Axial view | Slice index 92 | Brain
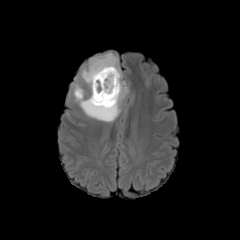
FLAIR MR image.
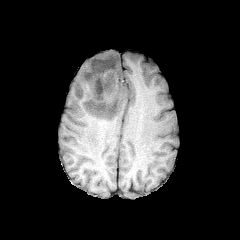
T1-weighted magnetic resonance.
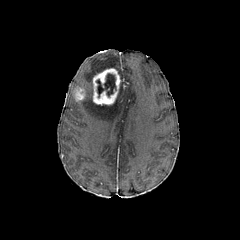
Same slice, post-contrast T1-weighted magnetic resonance.
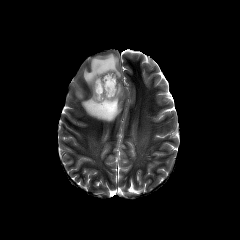
Same slice, T2-weighted MRI.
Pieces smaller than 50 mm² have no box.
peritumoral edema = l=78, t=53, r=128, b=122
enhancing tumor = l=92, t=68, r=120, b=105; l=74, t=86, r=84, b=101
necrotic tumor core = l=96, t=73, r=116, b=97